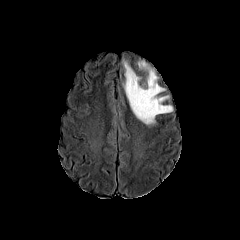
FLAIR MR image.
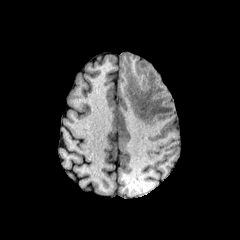
T1-weighted MRI.
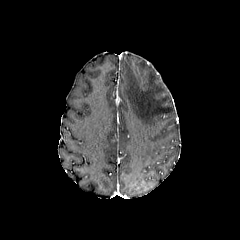
Same slice, post-contrast T1-weighted MR image.
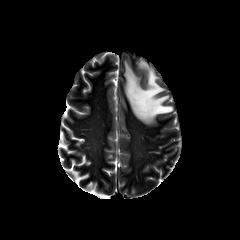
T2-weighted MRI.
Brain | Axial slice
- peritumoral edema: box=[124, 61, 172, 125]